FLAIR MR image.
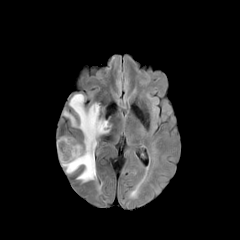
T1-weighted magnetic resonance.
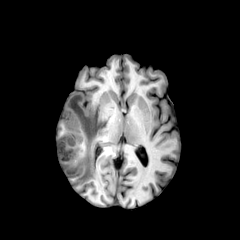
Post-contrast T1-weighted MRI.
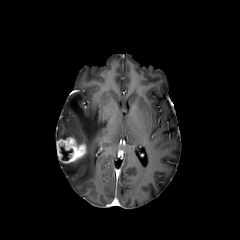
T2-weighted MRI.
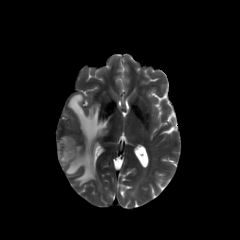
Head
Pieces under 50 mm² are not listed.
Segmented structures:
- enhancing tumor: (left=56, top=136, right=86, bottom=163)
- necrotic tumor core: (left=60, top=146, right=73, bottom=160)
- peritumoral edema: (left=63, top=111, right=76, bottom=126), (left=61, top=94, right=109, bottom=182)